FLAIR MRI.
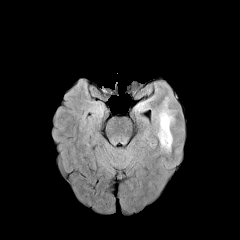
T1-weighted MR.
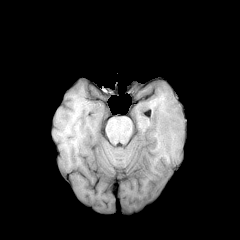
Post-contrast T1-weighted MR.
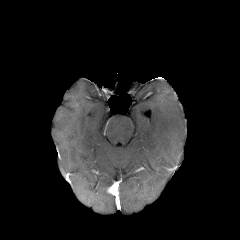
T2-weighted magnetic resonance.
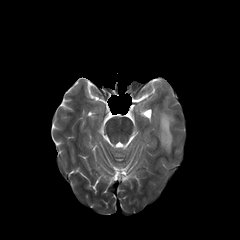
Brain
peritumoral edema = (left=156, top=97, right=175, bottom=151), (left=132, top=95, right=155, bottom=112)